Brain. Image covers 240 mm x 240 mm.
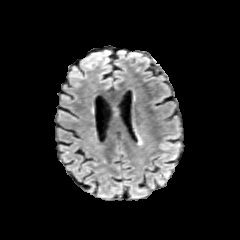
FLAIR MRI.
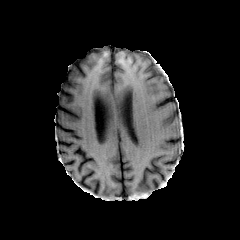
T1-weighted MRI.
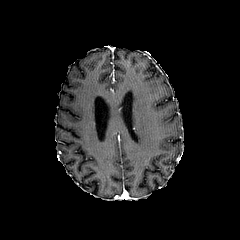
Same slice, post-contrast T1-weighted magnetic resonance.
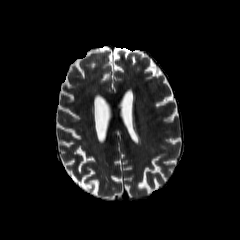
T2-weighted MR of the same slice.
peritumoral edema = bbox(135, 127, 142, 147)